FLAIR MR image.
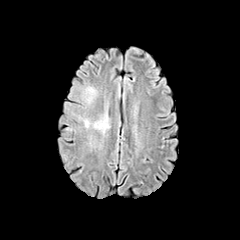
T1-weighted magnetic resonance.
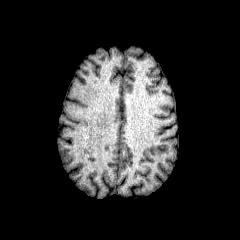
Post-contrast T1-weighted MRI.
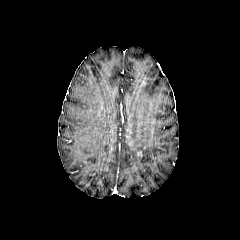
T2-weighted MRI.
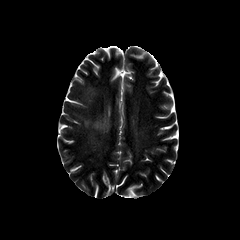
Brain.
<segmentation>
  <peritumoral_edema>l=84, t=87, r=96, b=102; l=78, t=115, r=108, b=133</peritumoral_edema>
</segmentation>